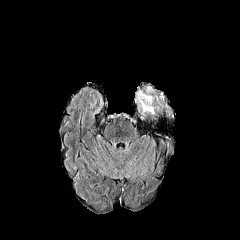
FLAIR MR image.
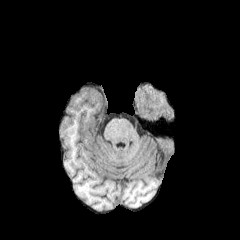
T1-weighted MR image.
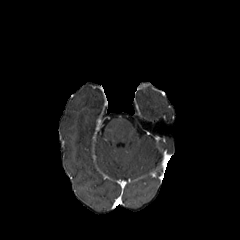
Post-contrast T1-weighted MR of the same slice.
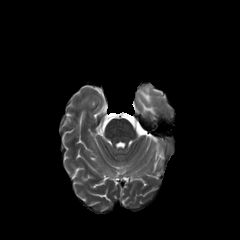
T2-weighted MR image.
Brain, 240x240 px
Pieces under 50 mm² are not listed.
The 2 largest peritumoral edema regions are bounded by (left=138, top=98, right=154, bottom=113), (left=139, top=91, right=151, bottom=102).